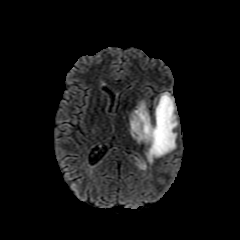
FLAIR magnetic resonance.
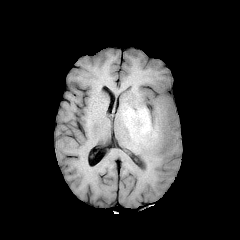
Same slice, T1-weighted MR image.
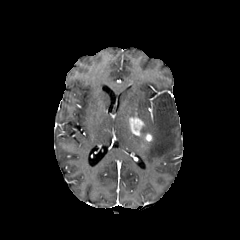
Post-contrast T1-weighted MR.
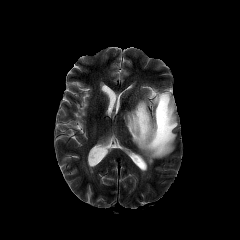
T2-weighted MRI.
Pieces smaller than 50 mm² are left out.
enhancing tumor: 129:116:152:142 | peritumoral edema: 129:92:177:164